FLAIR MR image.
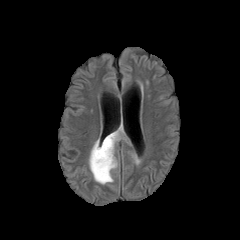
T1-weighted MRI.
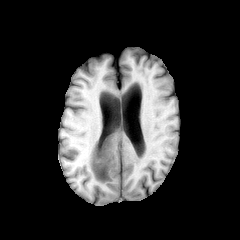
Post-contrast T1-weighted MR image.
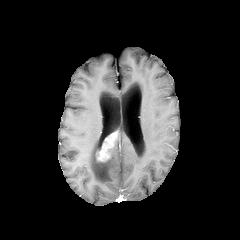
T2-weighted MR image.
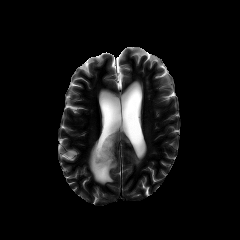
Head, 240x240 px, Axial plane
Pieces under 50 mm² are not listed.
The 3 largest peritumoral edema regions appear at (left=115, top=123, right=124, bottom=143), (left=89, top=139, right=117, bottom=184), (left=132, top=154, right=140, bottom=164). The enhancing tumor is located at (left=96, top=131, right=117, bottom=161).